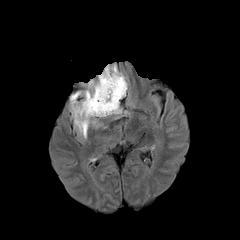
FLAIR MR image.
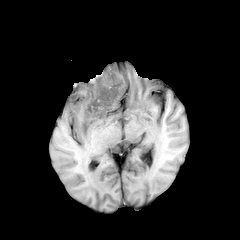
Same slice, T1-weighted MRI.
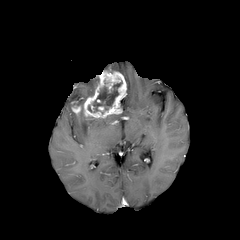
Same slice, post-contrast T1-weighted MR.
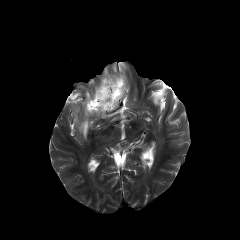
T2-weighted MR image of the same slice.
Axial plane, Head, 240x240 px
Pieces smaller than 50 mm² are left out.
The largest enhancing tumor region is located at box(71, 70, 126, 119). The necrotic tumor core appears at box(88, 78, 122, 111). The 4 largest peritumoral edema regions are located at box(70, 91, 81, 101); box(72, 110, 96, 138); box(105, 64, 117, 71); box(77, 80, 96, 105).